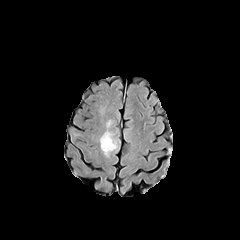
FLAIR MR image.
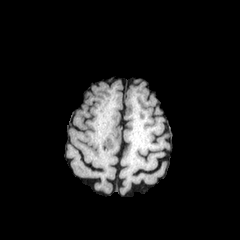
T1-weighted MR.
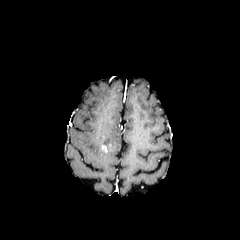
Post-contrast T1-weighted MR.
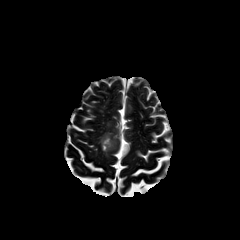
T2-weighted magnetic resonance.
Brain
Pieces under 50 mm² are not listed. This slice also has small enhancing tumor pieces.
<segmentation>
  <peritumoral_edema>bbox(100, 131, 118, 156)</peritumoral_edema>
</segmentation>